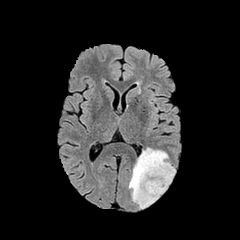
FLAIR MR.
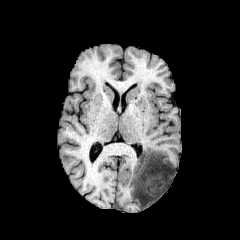
T1-weighted MR.
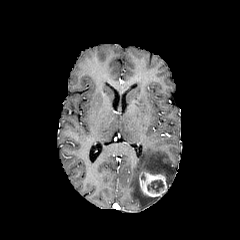
Post-contrast T1-weighted MR.
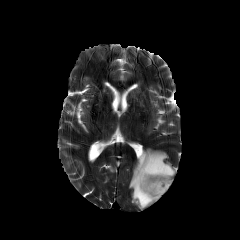
T2-weighted magnetic resonance.
Head. 240x240 px.
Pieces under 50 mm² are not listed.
necrotic tumor core: region(147, 180, 163, 192) | enhancing tumor: region(139, 171, 167, 197) | peritumoral edema: region(129, 148, 175, 208)